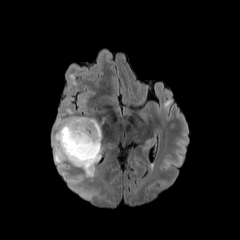
FLAIR MRI.
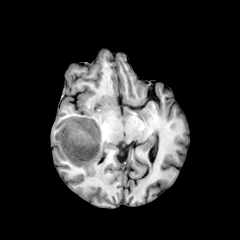
T1-weighted MR image of the same slice.
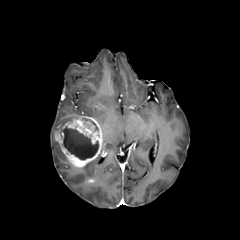
Same slice, post-contrast T1-weighted magnetic resonance.
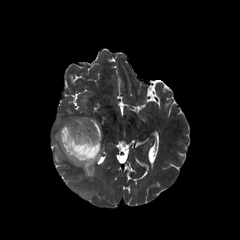
T2-weighted MRI.
Axial plane.
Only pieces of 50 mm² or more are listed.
The largest necrotic tumor core region appears at 62,127,98,159. The 3 largest peritumoral edema regions are bounded by 53,134,67,162; 56,116,78,130; 83,155,100,176. The enhancing tumor is located at 55,116,103,167.